Brain; Image width 240 mm
FLAIR MR image.
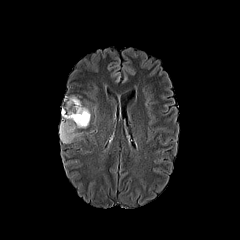
T1-weighted MRI.
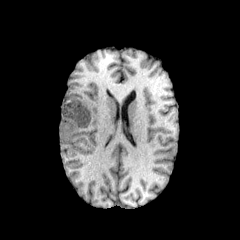
Post-contrast T1-weighted MR image.
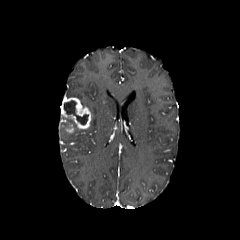
T2-weighted MR.
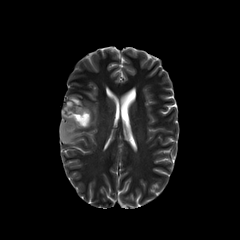
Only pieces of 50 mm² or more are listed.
enhancing tumor at rect(61, 97, 91, 129)
necrotic tumor core at rect(64, 100, 88, 124)
peritumoral edema at rect(60, 117, 81, 143)